FLAIR MR.
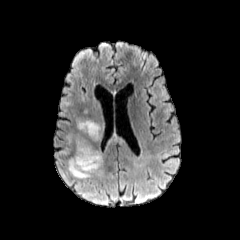
T1-weighted MR image.
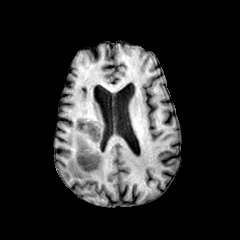
Post-contrast T1-weighted MR image.
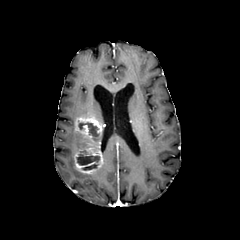
T2-weighted MRI.
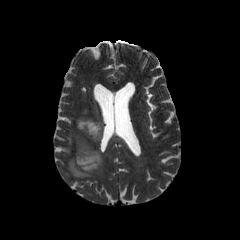
Axial slice
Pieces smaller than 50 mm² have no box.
3 necrotic tumor core regions appear at x1=79 y1=122 x2=98 y2=136, x1=82 y1=164 x2=97 y2=170, x1=77 y1=151 x2=99 y2=165. The enhancing tumor is located at x1=74 y1=117 x2=103 y2=174. The 3 largest peritumoral edema regions appear at x1=76 y1=139 x2=84 y2=151, x1=108 y1=134 x2=124 y2=143, x1=68 y1=157 x2=102 y2=178.